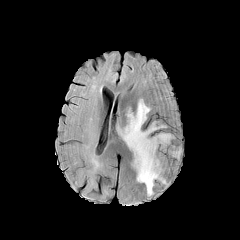
FLAIR magnetic resonance.
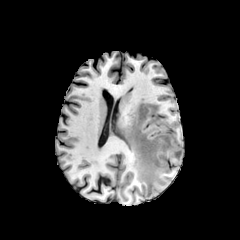
T1-weighted MR image.
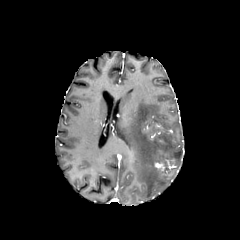
Post-contrast T1-weighted MR image of the same slice.
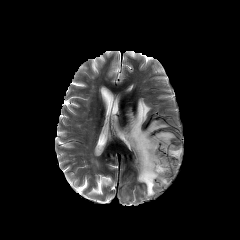
Same slice, T2-weighted MRI.
Axial slice | Head
{
  "peritumoral_edema": [
    "bbox(118, 98, 181, 196)"
  ],
  "enhancing_tumor": [
    "bbox(155, 162, 165, 171)"
  ]
}